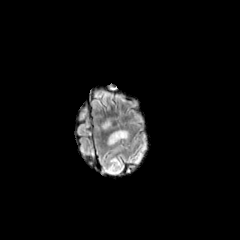
FLAIR MRI.
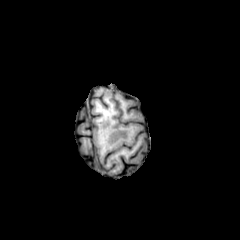
T1-weighted MR.
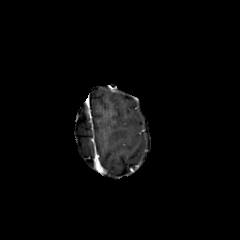
Post-contrast T1-weighted MR image.
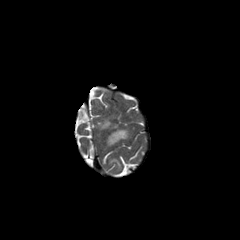
T2-weighted magnetic resonance of the same slice.
Brain
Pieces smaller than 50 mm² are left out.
The 2 largest peritumoral edema regions are bounded by {"x1": 108, "y1": 129, "x2": 129, "y2": 144}, {"x1": 102, "y1": 118, "x2": 111, "y2": 129}.